FLAIR MR.
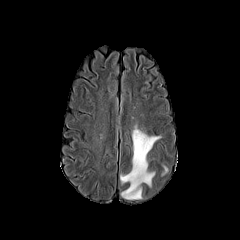
T1-weighted magnetic resonance.
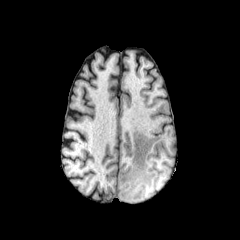
Post-contrast T1-weighted MR image.
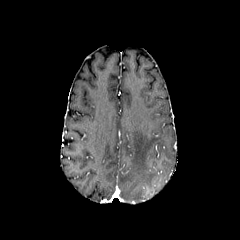
T2-weighted magnetic resonance.
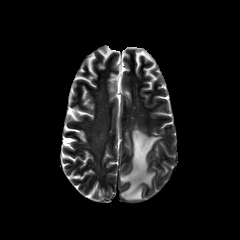
240x240
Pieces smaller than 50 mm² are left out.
The largest peritumoral edema region is bounded by x1=120 y1=126 x2=161 y2=199.